Image width 240 mm, 1.00 mm slice spacing, Image size 240x240
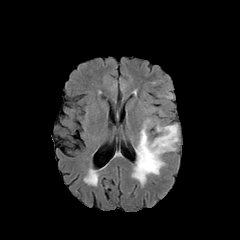
FLAIR MRI.
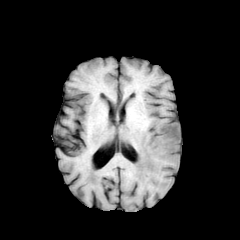
Same slice, T1-weighted MR image.
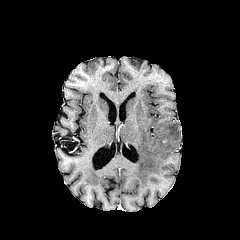
Post-contrast T1-weighted MR image.
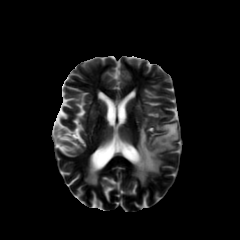
T2-weighted MRI.
peritumoral edema at left=132, top=124, right=178, bottom=184